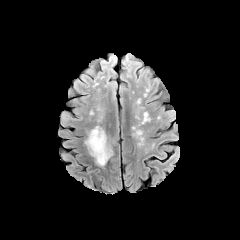
FLAIR MR.
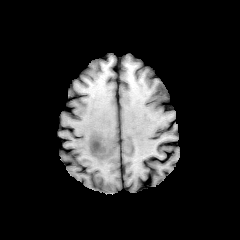
T1-weighted MR image of the same slice.
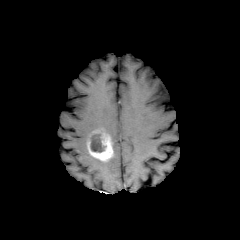
Post-contrast T1-weighted MR.
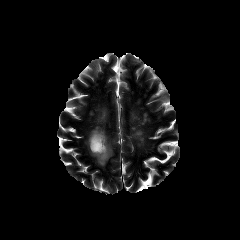
T2-weighted magnetic resonance.
240x240 px. Head.
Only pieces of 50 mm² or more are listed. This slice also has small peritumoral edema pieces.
{
  "enhancing_tumor": [
    "left=87, top=130, right=113, bottom=161"
  ],
  "necrotic_tumor_core": [
    "left=89, top=134, right=104, bottom=152"
  ]
}